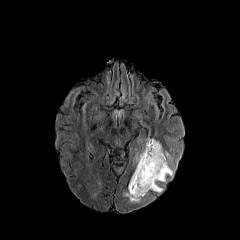
FLAIR MR.
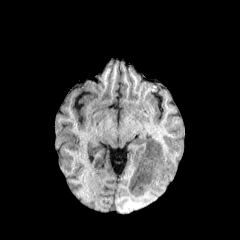
T1-weighted MR image.
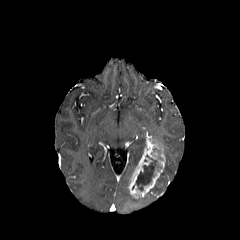
Post-contrast T1-weighted MR of the same slice.
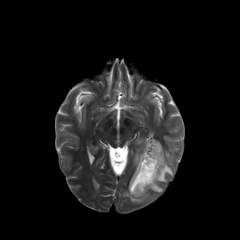
T2-weighted MR.
Axial plane | 240x240 | Head
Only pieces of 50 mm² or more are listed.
The 3 largest peritumoral edema regions appear at [x1=151, y1=182, x2=163, y2=192], [x1=157, y1=151, x2=173, y2=182], [x1=123, y1=191, x2=148, y2=202]. The largest necrotic tumor core region is bounded by [x1=136, y1=155, x2=156, y2=190]. The enhancing tumor lies within [x1=128, y1=139, x2=165, y2=198].